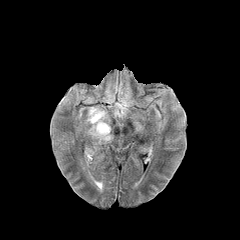
FLAIR MRI.
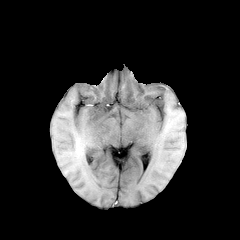
T1-weighted MRI.
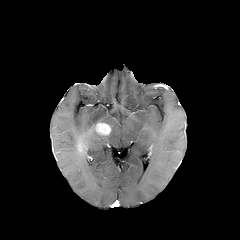
Post-contrast T1-weighted MR image.
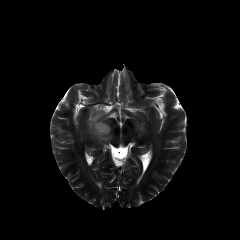
T2-weighted MR.
Brain, Axial plane
enhancing tumor = (x1=95, y1=122, x2=110, y2=135)
peritumoral edema = (x1=87, y1=107, x2=111, y2=140)